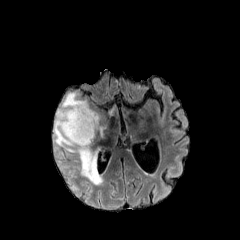
FLAIR magnetic resonance.
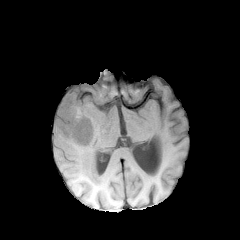
Same slice, T1-weighted MRI.
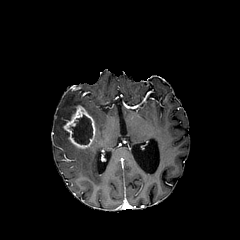
Same slice, post-contrast T1-weighted MRI.
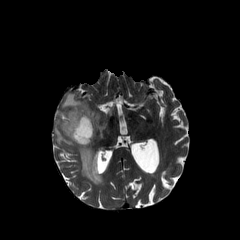
T2-weighted MRI.
Axial slice
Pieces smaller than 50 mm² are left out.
enhancing tumor: {"x1": 63, "y1": 105, "x2": 95, "y2": 148} | peritumoral edema: {"x1": 54, "y1": 92, "x2": 104, "y2": 184} | necrotic tumor core: {"x1": 70, "y1": 115, "x2": 92, "y2": 144}